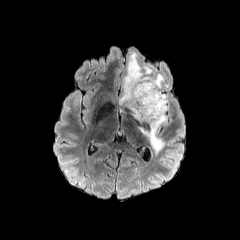
FLAIR MR image.
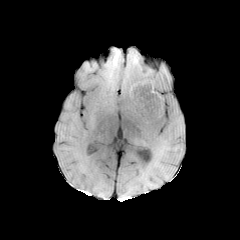
T1-weighted MR of the same slice.
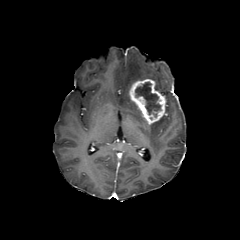
Post-contrast T1-weighted MRI of the same slice.
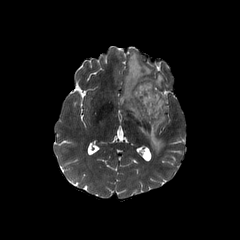
Same slice, T2-weighted MR image.
Axial view
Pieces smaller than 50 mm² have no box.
The largest necrotic tumor core region is bounded by 135,81,160,114. The 2 largest peritumoral edema regions are bounded by 139,116,166,155; 118,52,167,120. The enhancing tumor is bounded by 129,79,166,124.